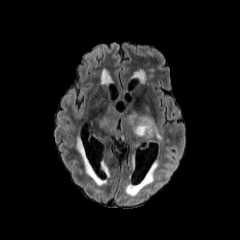
FLAIR magnetic resonance.
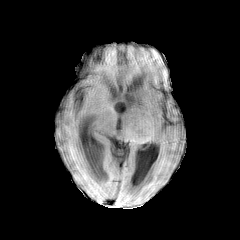
T1-weighted MR.
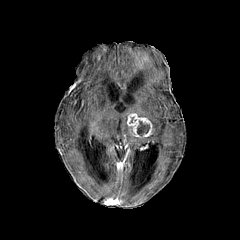
Post-contrast T1-weighted MR.
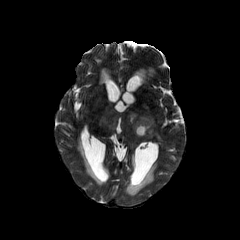
T2-weighted MRI of the same slice.
240x240, Brain, Axial view
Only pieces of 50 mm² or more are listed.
The largest necrotic tumor core region is at rect(137, 121, 149, 135). The peritumoral edema appears at rect(98, 104, 161, 141). The enhancing tumor lies within rect(127, 113, 153, 138).